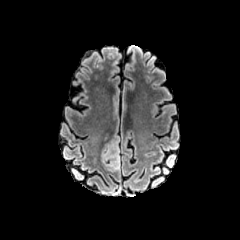
FLAIR MR image.
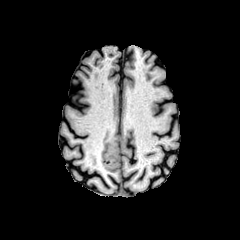
T1-weighted MR.
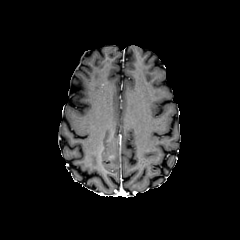
Post-contrast T1-weighted MR image.
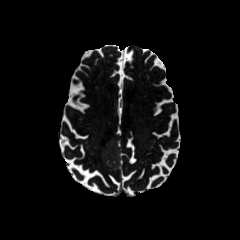
Same slice, T2-weighted magnetic resonance.
Brain
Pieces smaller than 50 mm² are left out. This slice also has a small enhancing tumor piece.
peritumoral edema — left=101, top=131, right=120, bottom=171